FLAIR MRI.
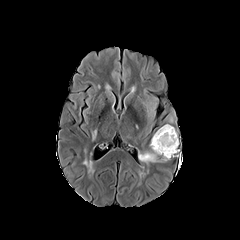
T1-weighted MR.
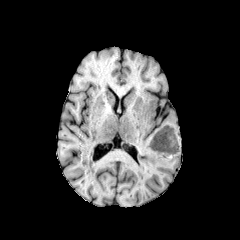
Post-contrast T1-weighted MRI.
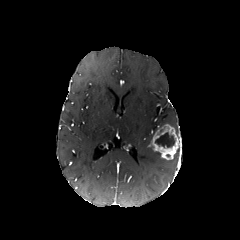
T2-weighted MR image.
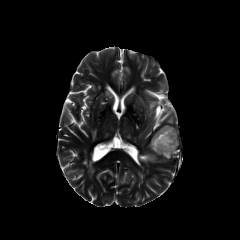
Brain, Axial plane
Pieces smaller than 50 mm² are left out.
The largest peritumoral edema region appears at (138, 151, 166, 163). The largest necrotic tumor core region is at (155, 132, 174, 147). The enhancing tumor appears at (149, 124, 180, 160).